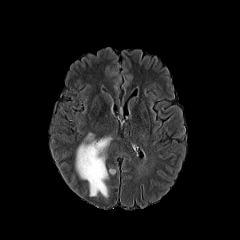
FLAIR magnetic resonance.
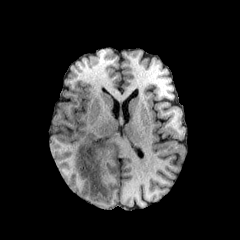
Same slice, T1-weighted MRI.
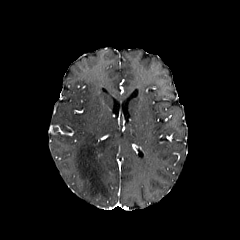
Post-contrast T1-weighted MR.
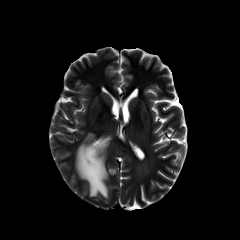
T2-weighted magnetic resonance of the same slice.
Head
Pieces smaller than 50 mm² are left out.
<segmentation>
  <peritumoral_edema>l=75, t=133, r=111, b=197</peritumoral_edema>
</segmentation>